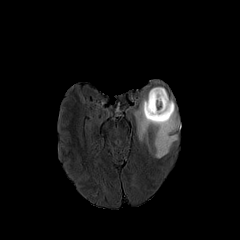
FLAIR magnetic resonance.
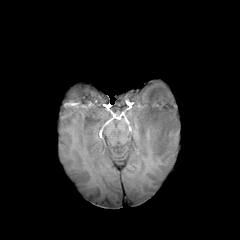
T1-weighted MR image of the same slice.
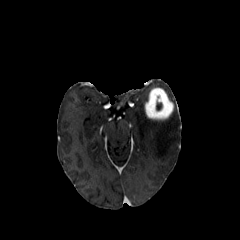
Post-contrast T1-weighted MR image of the same slice.
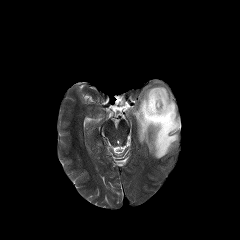
T2-weighted MR.
Image size 240x240
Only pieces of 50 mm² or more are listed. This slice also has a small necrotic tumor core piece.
peritumoral edema — 133, 90, 180, 158
enhancing tumor — 144, 87, 174, 120